Slice 92/155 | Head | 240x240 px
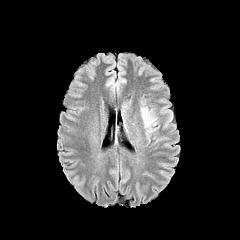
FLAIR magnetic resonance.
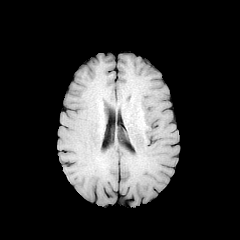
T1-weighted MR image.
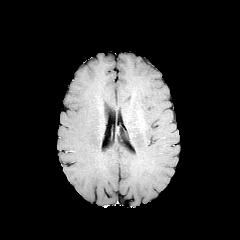
Same slice, post-contrast T1-weighted MRI.
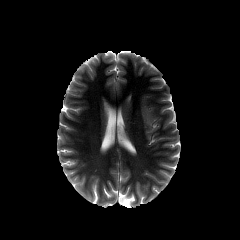
Same slice, T2-weighted MR.
Findings:
- peritumoral edema: 142 109 154 125